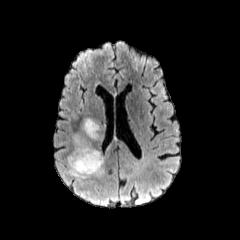
FLAIR MRI.
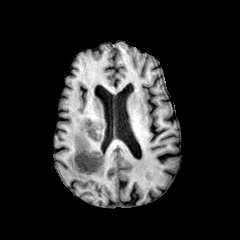
T1-weighted MR.
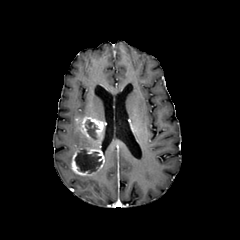
Post-contrast T1-weighted magnetic resonance of the same slice.
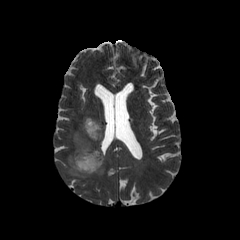
T2-weighted MRI.
Axial plane, Brain
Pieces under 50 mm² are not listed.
necrotic tumor core: bounding box x1=75 y1=149 x2=102 y2=173, x1=85 y1=120 x2=97 y2=138
enhancing tumor: bounding box x1=71 y1=117 x2=104 y2=175
peritumoral edema: bounding box x1=74 y1=135 x2=85 y2=150, x1=67 y1=151 x2=90 y2=178